Head. Axial slice. Slice 116/155.
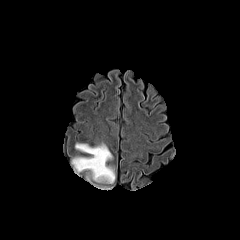
FLAIR magnetic resonance.
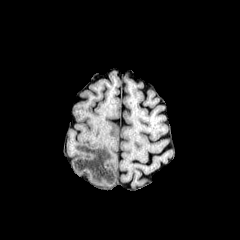
T1-weighted MR.
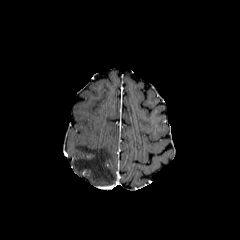
Post-contrast T1-weighted magnetic resonance.
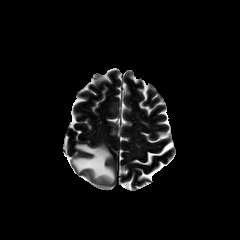
Same slice, T2-weighted MR image.
The peritumoral edema is bounded by <bbox>72, 143, 115, 183</bbox>.